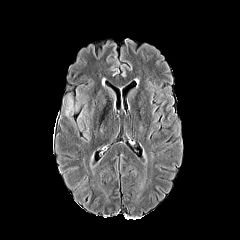
FLAIR magnetic resonance.
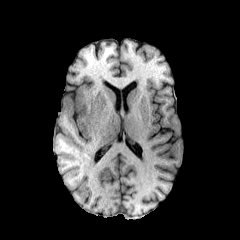
T1-weighted magnetic resonance.
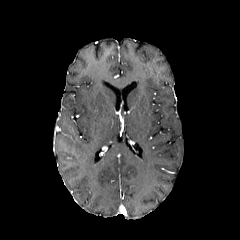
Same slice, post-contrast T1-weighted MRI.
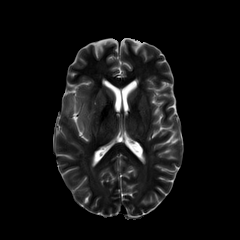
T2-weighted MR image of the same slice.
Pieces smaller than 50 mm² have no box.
peritumoral edema — x1=77 y1=105 x2=90 y2=140, x1=63 y1=92 x2=76 y2=129